Image width 240 mm, 1.00 mm slice spacing; 240x240
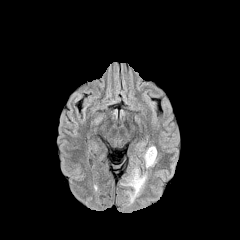
FLAIR MR.
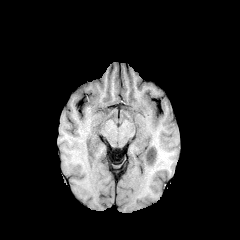
Same slice, T1-weighted MR.
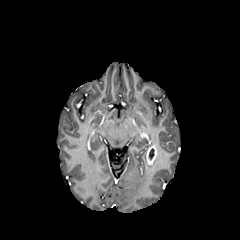
Post-contrast T1-weighted MRI of the same slice.
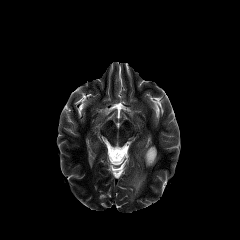
T2-weighted MR image of the same slice.
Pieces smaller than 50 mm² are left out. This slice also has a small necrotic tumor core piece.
2 peritumoral edema regions are located at (left=143, top=150, right=158, bottom=168), (left=122, top=168, right=146, bottom=202). The enhancing tumor appears at (left=146, top=146, right=156, bottom=164).